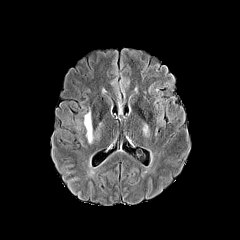
FLAIR MR image.
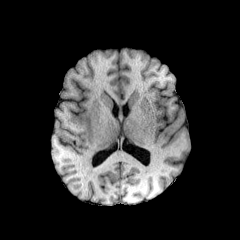
T1-weighted magnetic resonance.
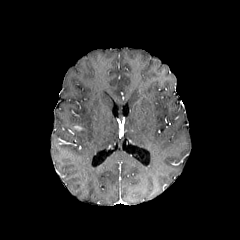
Same slice, post-contrast T1-weighted MRI.
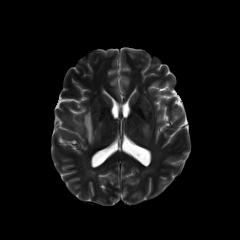
Same slice, T2-weighted magnetic resonance.
Axial plane.
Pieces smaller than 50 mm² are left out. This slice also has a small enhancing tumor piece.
{
  "peritumoral_edema": [
    "rect(84, 111, 93, 143)",
    "rect(143, 124, 148, 135)"
  ]
}